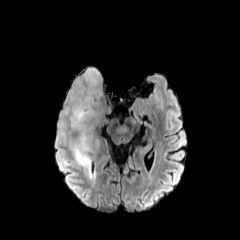
FLAIR magnetic resonance.
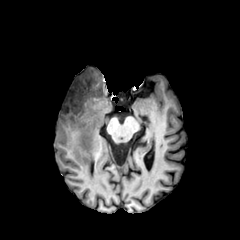
T1-weighted magnetic resonance.
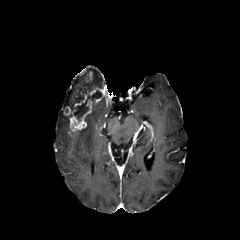
Same slice, post-contrast T1-weighted magnetic resonance.
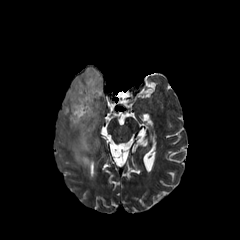
T2-weighted MR of the same slice.
Axial view | Head
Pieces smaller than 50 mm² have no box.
Annotated regions:
* enhancing tumor: left=63, top=70, right=104, bottom=133
* peritumoral edema: left=75, top=91, right=83, bottom=102; left=58, top=67, right=102, bottom=136; left=69, top=108, right=98, bottom=168
* necrotic tumor core: left=74, top=90, right=101, bottom=120